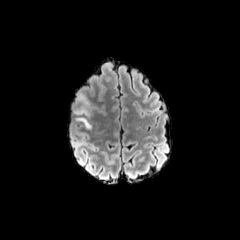
FLAIR MR image.
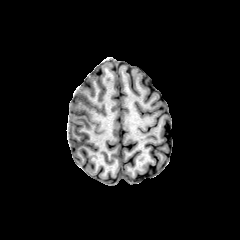
T1-weighted MRI of the same slice.
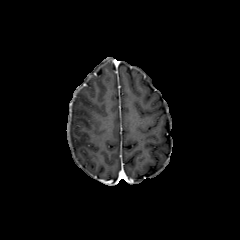
Same slice, post-contrast T1-weighted MR.
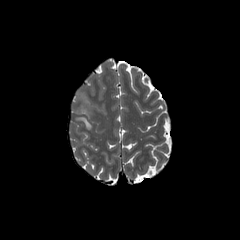
T2-weighted magnetic resonance.
Image size 240x240
{"peritumoral_edema": ["75 117 90 127", "75 91 91 115"]}